Image width 240 mm, 1.00 mm slice spacing; Axial slice; 240x240; Slice 66/155
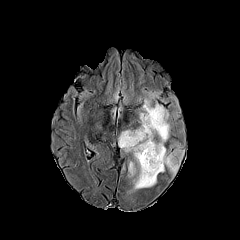
FLAIR MRI.
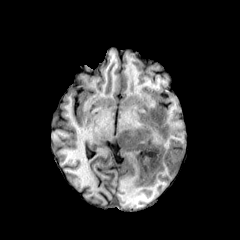
T1-weighted magnetic resonance of the same slice.
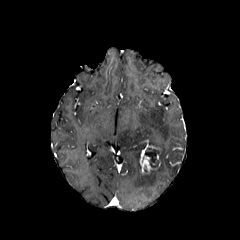
Post-contrast T1-weighted MR.
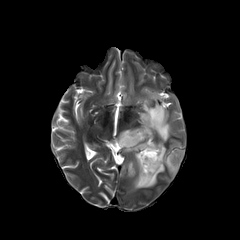
T2-weighted MR of the same slice.
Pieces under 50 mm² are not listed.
peritumoral edema: left=118, top=97, right=185, bottom=194; left=128, top=161, right=136, bottom=176 | enhancing tumor: left=139, top=141, right=162, bottom=174 | necrotic tumor core: left=144, top=148, right=159, bottom=168